FLAIR MR.
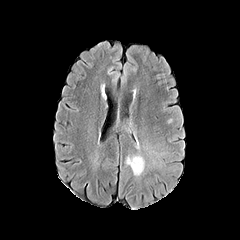
T1-weighted MR image.
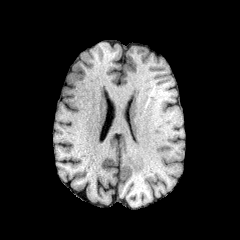
Post-contrast T1-weighted MR.
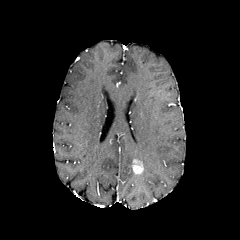
T2-weighted magnetic resonance.
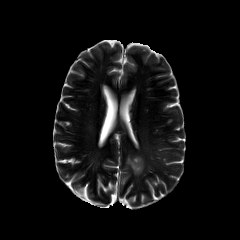
Axial slice | 240x240 px | Head
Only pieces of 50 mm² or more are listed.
The enhancing tumor is at l=132, t=159, r=143, b=174. The largest peritumoral edema region appears at l=126, t=156, r=144, b=167.